Slice index 113; 240x240
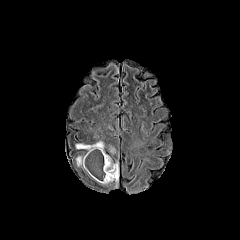
FLAIR magnetic resonance.
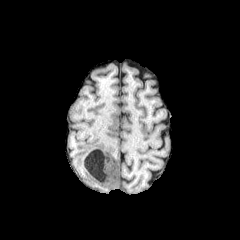
T1-weighted MR image.
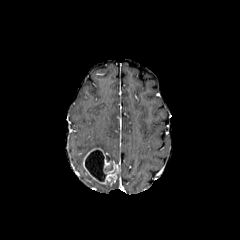
Same slice, post-contrast T1-weighted magnetic resonance.
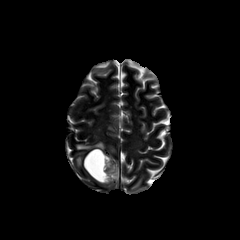
T2-weighted MR image.
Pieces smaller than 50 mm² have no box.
The 2 largest peritumoral edema regions appear at x1=76, y1=156, x2=83, y2=166; x1=75, y1=142, x2=104, y2=150. The largest necrotic tumor core region is at x1=85, y1=150, x2=106, y2=181. The enhancing tumor lies within x1=83, y1=148, x2=118, y2=184.